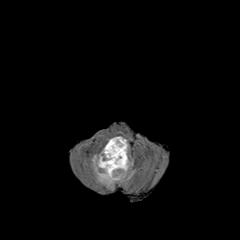
FLAIR MRI.
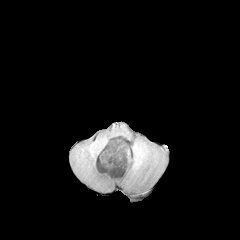
T1-weighted MR.
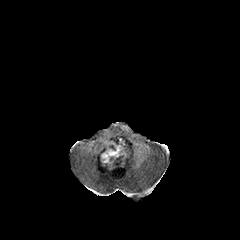
Post-contrast T1-weighted magnetic resonance.
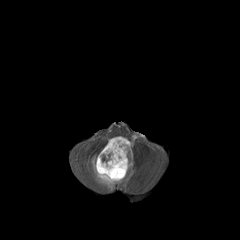
T2-weighted MR.
Axial plane; Image size 240x240; Brain
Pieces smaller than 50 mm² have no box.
The peritumoral edema is at l=92, t=136, r=134, b=188. The largest necrotic tumor core region lies within l=114, t=156, r=122, b=165. The enhancing tumor is at l=99, t=138, r=126, b=174.